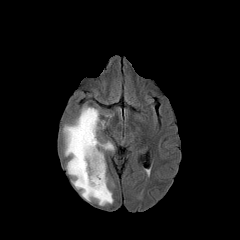
FLAIR MR.
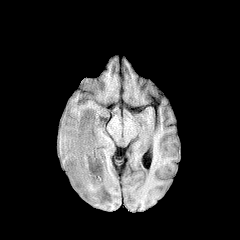
T1-weighted MRI.
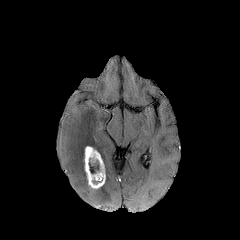
Post-contrast T1-weighted magnetic resonance.
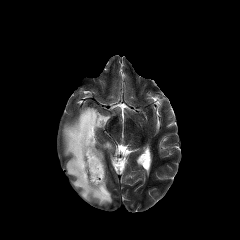
T2-weighted MR of the same slice.
Axial slice | Head
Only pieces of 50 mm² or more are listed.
Findings:
* necrotic tumor core: region(89, 162, 99, 173)
* peritumoral edema: region(63, 106, 113, 205)
* enhancing tumor: region(84, 146, 105, 189)